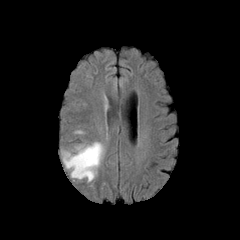
FLAIR MR.
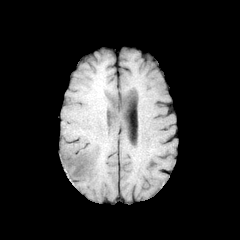
T1-weighted MR image.
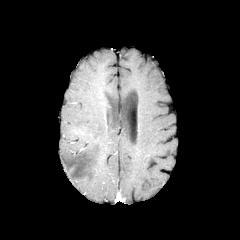
Post-contrast T1-weighted MRI of the same slice.
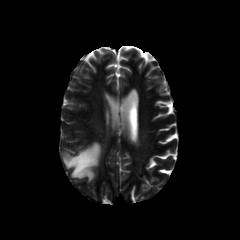
T2-weighted MRI.
Head; 240x240
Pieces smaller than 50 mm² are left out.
peritumoral_edema:
  - bbox=[62, 142, 103, 182]